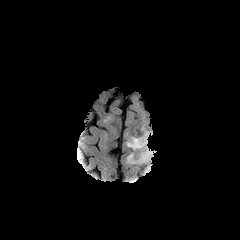
FLAIR magnetic resonance.
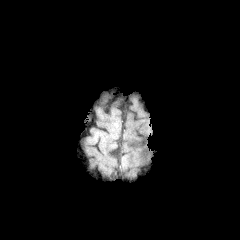
T1-weighted MRI of the same slice.
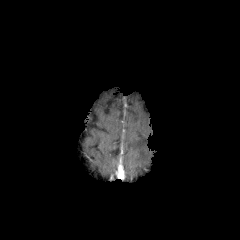
Post-contrast T1-weighted magnetic resonance.
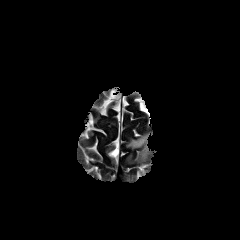
T2-weighted MR image.
Axial plane
• peritumoral edema: l=127, t=132, r=151, b=163